FLAIR magnetic resonance.
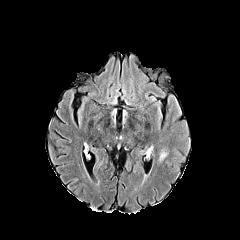
T1-weighted MRI.
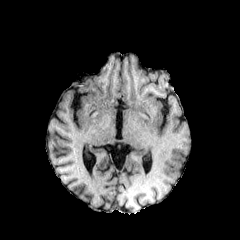
Post-contrast T1-weighted magnetic resonance.
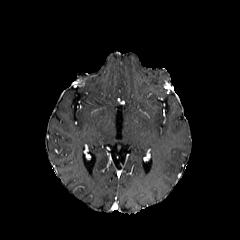
T2-weighted MR.
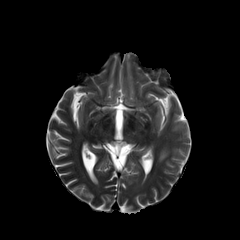
240x240 px, Axial view
peritumoral edema at 159,148,167,161